FLAIR MR image.
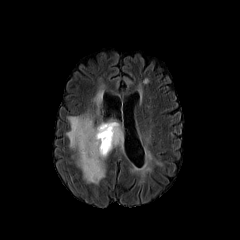
T1-weighted MR.
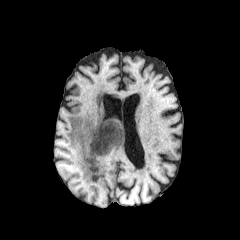
Post-contrast T1-weighted MRI.
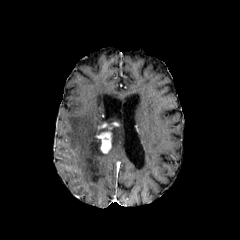
T2-weighted MRI.
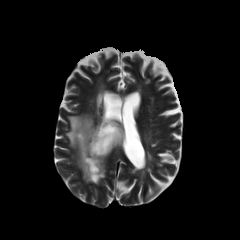
Head; Axial slice
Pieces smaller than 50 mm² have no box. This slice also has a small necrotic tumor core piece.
peritumoral edema: bounding box bbox=[95, 93, 102, 114]; bbox=[66, 115, 123, 183]
enhancing tumor: bounding box bbox=[96, 122, 117, 153]